FLAIR MRI.
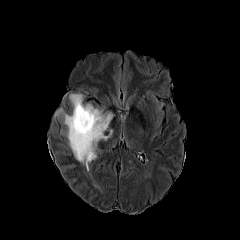
T1-weighted magnetic resonance.
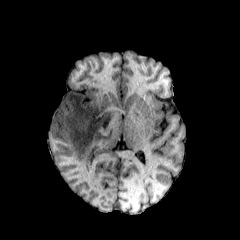
Post-contrast T1-weighted magnetic resonance.
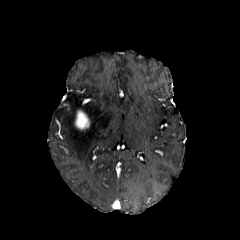
T2-weighted MR image.
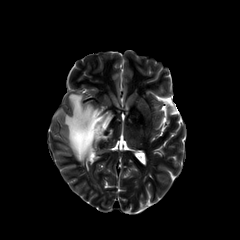
Head
peritumoral edema at x1=54, y1=93, x2=114, y2=171
enhancing tumor at x1=74, y1=109, x2=90, y2=130